FLAIR magnetic resonance.
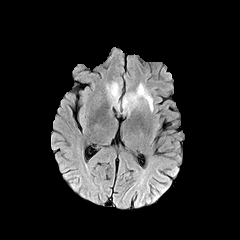
T1-weighted magnetic resonance.
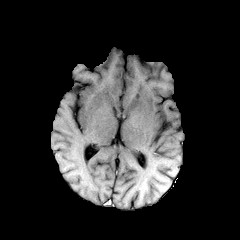
Post-contrast T1-weighted MR.
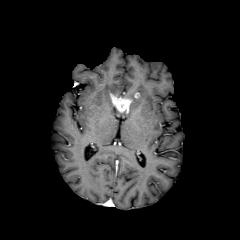
T2-weighted MRI.
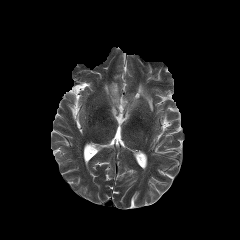
Image size 240x240
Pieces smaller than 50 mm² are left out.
enhancing tumor: 110 93 132 112 | peritumoral edema: 106 82 120 105, 124 83 153 113